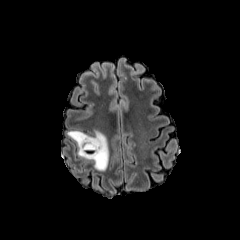
FLAIR MRI.
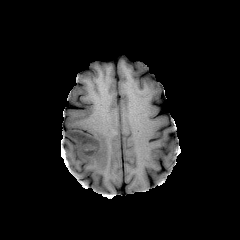
T1-weighted magnetic resonance of the same slice.
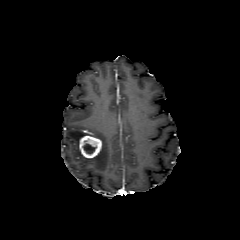
Post-contrast T1-weighted MRI of the same slice.
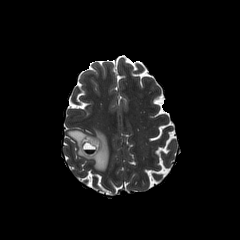
T2-weighted MRI.
Brain | Axial view | 240x240
necrotic tumor core: [83,144,95,153]
enhancing tumor: [79,136,101,158]
peritumoral edema: [67,129,109,171]